FLAIR magnetic resonance.
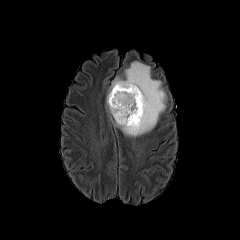
T1-weighted MR image.
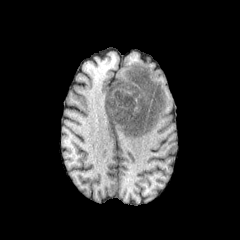
Post-contrast T1-weighted MR.
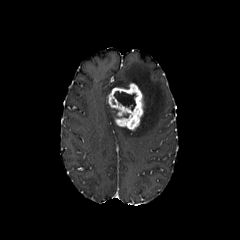
T2-weighted MR image.
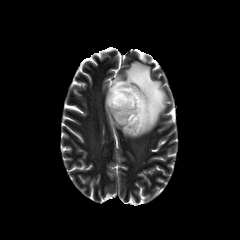
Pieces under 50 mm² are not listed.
<segmentation>
  <peritumoral_edema>l=108, t=60, r=168, b=137; l=106, t=97, r=115, b=116</peritumoral_edema>
  <enhancing_tumor>l=107, t=83, r=143, b=130</enhancing_tumor>
  <necrotic_tumor_core>l=114, t=91, r=136, b=110</necrotic_tumor_core>
</segmentation>